Axial slice. Slice index 103.
FLAIR MR.
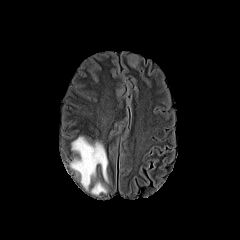
T1-weighted MRI.
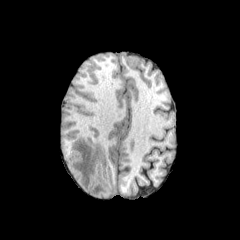
Post-contrast T1-weighted MR image.
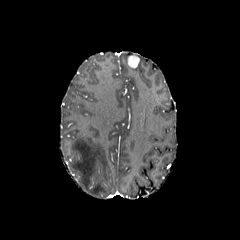
T2-weighted magnetic resonance.
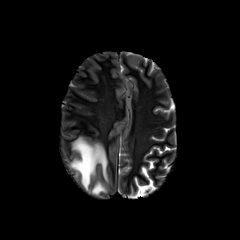
2 peritumoral edema regions are bounded by x1=70, y1=136, x2=107, y2=189; x1=91, y1=182, x2=106, y2=194.